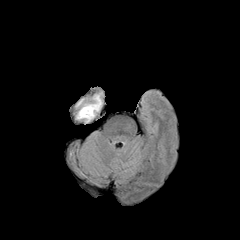
FLAIR MR.
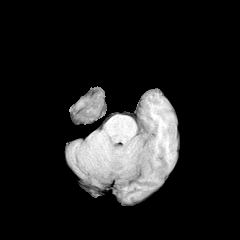
Same slice, T1-weighted MR image.
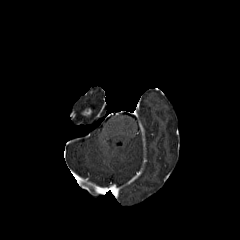
Post-contrast T1-weighted MR image of the same slice.
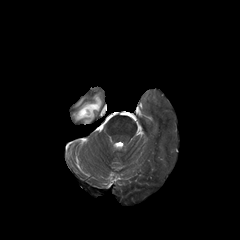
T2-weighted MRI.
Head.
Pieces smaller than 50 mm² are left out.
{
  "peritumoral_edema": [
    "box(76, 94, 101, 122)"
  ],
  "enhancing_tumor": [
    "box(81, 108, 91, 116)"
  ]
}